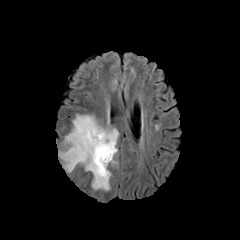
FLAIR MR image.
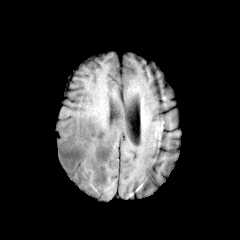
T1-weighted MRI.
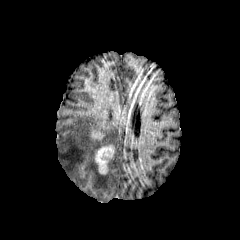
Post-contrast T1-weighted MRI.
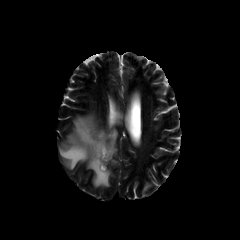
T2-weighted MR.
Brain.
peritumoral edema: <box>59,114,118,190</box> | enhancing tumor: <box>91,130,103,139</box>, <box>95,145,114,174</box>